Axial slice. Head. Slice 66 of 155.
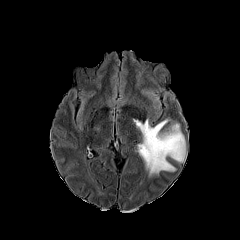
FLAIR MRI.
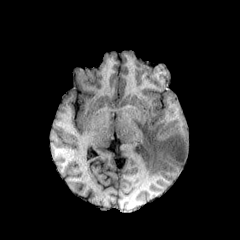
Same slice, T1-weighted magnetic resonance.
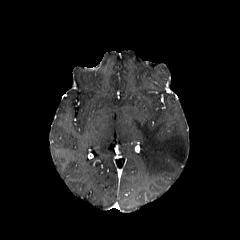
Same slice, post-contrast T1-weighted magnetic resonance.
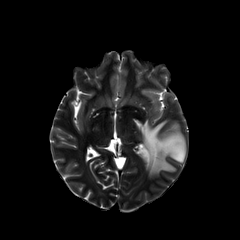
T2-weighted magnetic resonance of the same slice.
peritumoral edema: box=[134, 119, 186, 176]